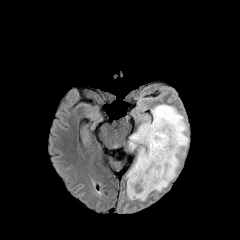
FLAIR MR image.
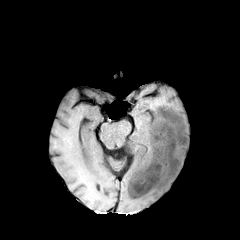
Same slice, T1-weighted magnetic resonance.
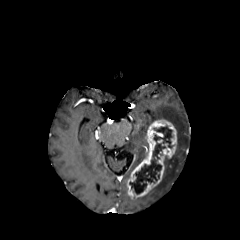
Post-contrast T1-weighted MR image.
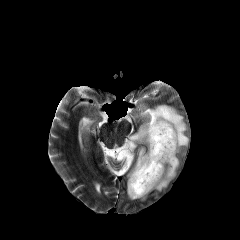
T2-weighted MRI of the same slice.
240x240 px, Axial plane
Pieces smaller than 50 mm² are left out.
• enhancing tumor: bbox(127, 119, 177, 199)
• peritumoral edema: bbox(128, 117, 151, 150); bbox(133, 104, 188, 201); bbox(126, 147, 145, 179)
• necrotic tumor core: bbox(154, 126, 172, 147); bbox(129, 143, 165, 194)